Axial slice. Slice index 117. Head.
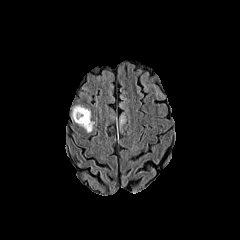
FLAIR MR image.
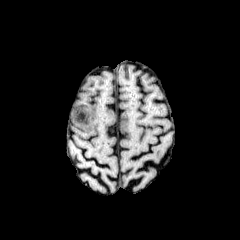
Same slice, T1-weighted MR.
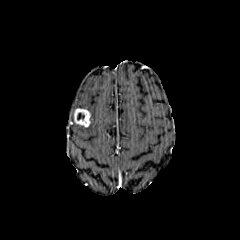
Post-contrast T1-weighted MR.
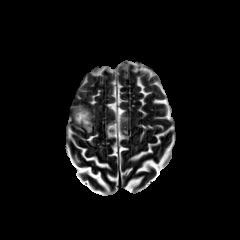
Same slice, T2-weighted MR image.
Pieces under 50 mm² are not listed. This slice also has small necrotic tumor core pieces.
The enhancing tumor is at 73,108,91,127. The 2 largest peritumoral edema regions are located at 120,114,125,128; 80,121,94,132.